Axial slice | Image size 240x240 | Slice index 68
FLAIR magnetic resonance.
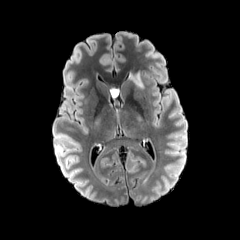
T1-weighted MR.
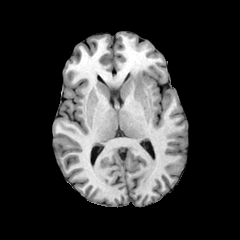
Post-contrast T1-weighted MRI.
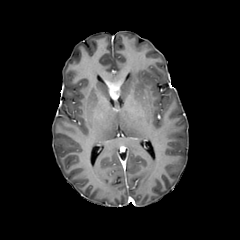
T2-weighted MR image.
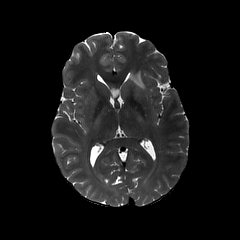
The peritumoral edema is at [127, 69, 145, 88]. The enhancing tumor appears at [107, 81, 119, 99].